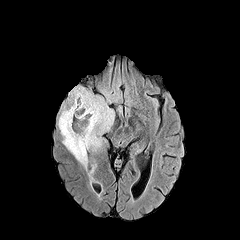
FLAIR magnetic resonance.
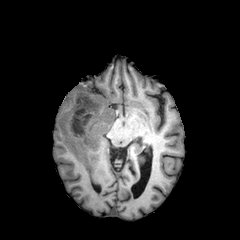
T1-weighted magnetic resonance.
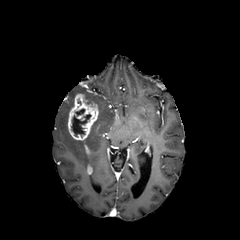
Same slice, post-contrast T1-weighted MR image.
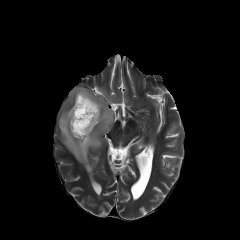
T2-weighted MRI.
Head
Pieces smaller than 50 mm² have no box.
The enhancing tumor is at <box>68,93,98,140</box>. The peritumoral edema is at <box>58,86,114,166</box>. The largest necrotic tumor core region appears at <box>71,114,90,136</box>.